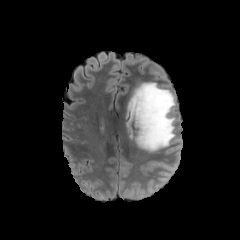
FLAIR magnetic resonance.
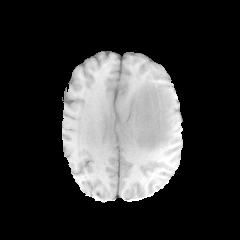
T1-weighted MRI.
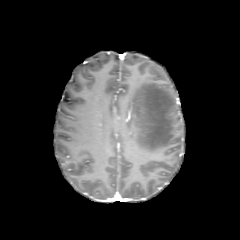
Post-contrast T1-weighted magnetic resonance.
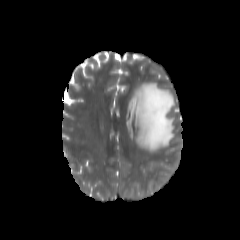
T2-weighted MR.
Axial plane.
<segmentation>
  <peritumoral_edema>(x1=127, y1=82, x2=175, y2=151)</peritumoral_edema>
</segmentation>